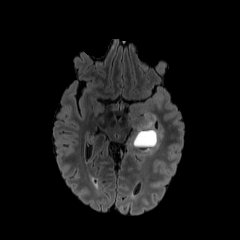
FLAIR MR.
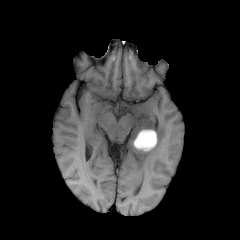
Same slice, T1-weighted magnetic resonance.
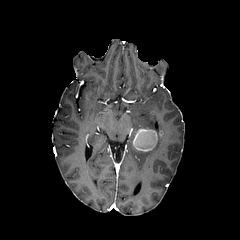
Same slice, post-contrast T1-weighted magnetic resonance.
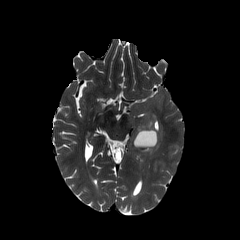
T2-weighted MR.
Axial slice.
2 peritumoral edema regions are bounded by box=[137, 113, 156, 129]; box=[143, 124, 164, 154]. The enhancing tumor is bounded by box=[133, 126, 162, 151]. The necrotic tumor core lies within box=[136, 131, 155, 148].